FLAIR MR image.
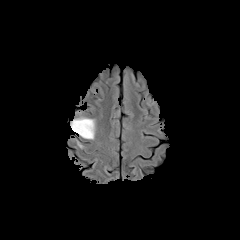
T1-weighted magnetic resonance.
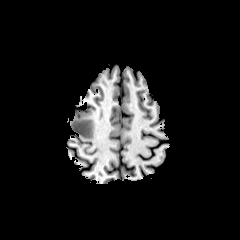
Post-contrast T1-weighted magnetic resonance.
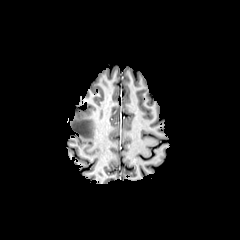
T2-weighted MR.
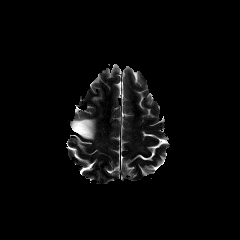
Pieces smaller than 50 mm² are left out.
peritumoral edema: box=[70, 117, 95, 139]